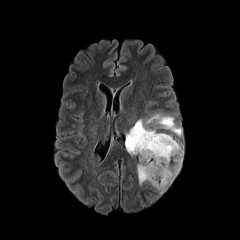
FLAIR MR image.
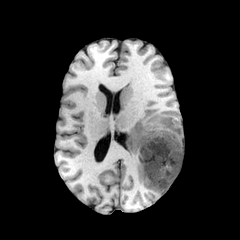
T1-weighted magnetic resonance.
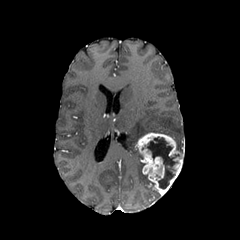
Same slice, post-contrast T1-weighted MR image.
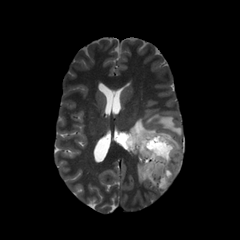
T2-weighted MR.
Brain
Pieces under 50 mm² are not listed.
{"peritumoral_edema": ["<bbox>125, 114, 182, 184</bbox>"], "necrotic_tumor_core": ["<bbox>147, 137, 179, 188</bbox>"], "enhancing_tumor": ["<bbox>135, 132, 183, 193</bbox>"]}